Slice 103/155
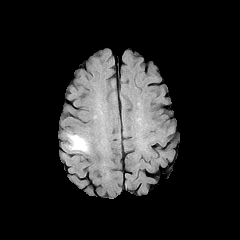
FLAIR MR.
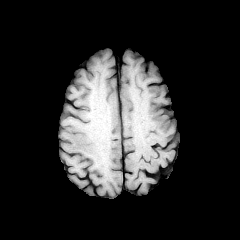
T1-weighted magnetic resonance of the same slice.
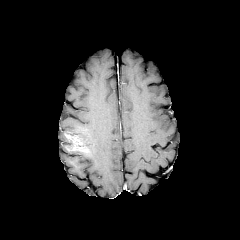
Same slice, post-contrast T1-weighted MRI.
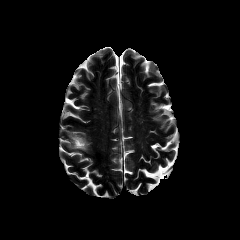
T2-weighted magnetic resonance of the same slice.
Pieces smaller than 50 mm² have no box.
enhancing tumor: [65,134,89,153] | peritumoral edema: [67,132,90,151]